FLAIR MR.
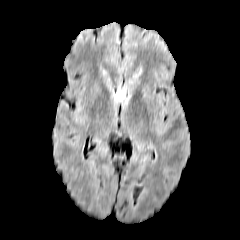
T1-weighted MR.
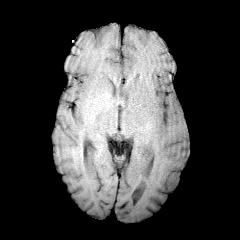
Post-contrast T1-weighted MRI.
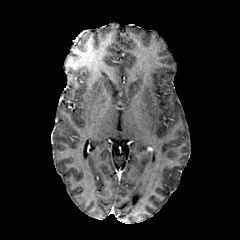
T2-weighted MRI.
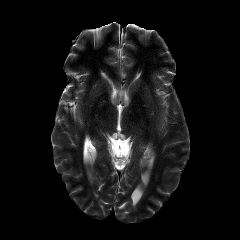
Head. 240x240.
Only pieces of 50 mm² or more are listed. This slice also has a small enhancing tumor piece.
peritumoral edema: l=114, t=87, r=129, b=104